240x240
FLAIR MR.
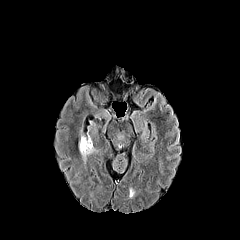
T1-weighted MR.
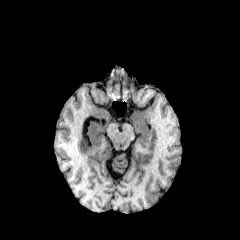
Post-contrast T1-weighted MRI.
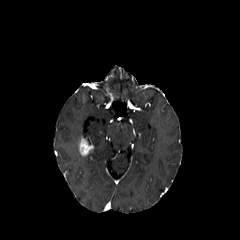
T2-weighted MRI.
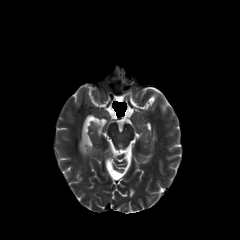
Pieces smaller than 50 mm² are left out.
{
  "peritumoral_edema": [
    "left=79, top=146, right=96, bottom=159"
  ],
  "enhancing_tumor": [
    "left=78, top=136, right=93, bottom=156"
  ]
}